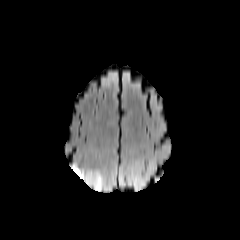
FLAIR magnetic resonance.
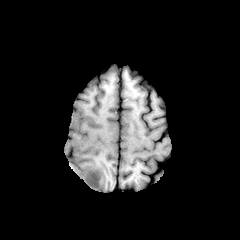
Same slice, T1-weighted magnetic resonance.
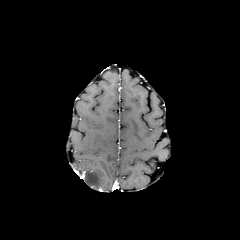
Post-contrast T1-weighted magnetic resonance.
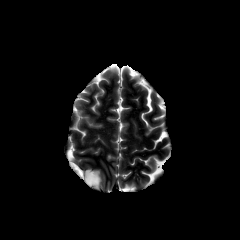
Same slice, T2-weighted MRI.
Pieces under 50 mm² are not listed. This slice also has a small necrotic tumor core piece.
enhancing tumor — 71,165,85,178
peritumoral edema — 83,171,103,189